Slice 73 of 155, Axial slice
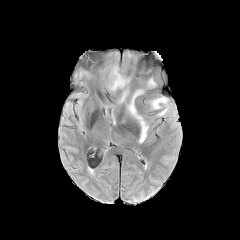
FLAIR magnetic resonance.
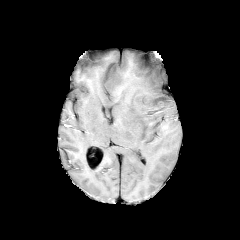
T1-weighted MR.
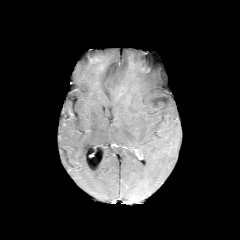
Same slice, post-contrast T1-weighted MR.
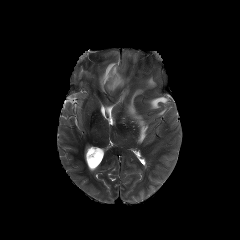
Same slice, T2-weighted magnetic resonance.
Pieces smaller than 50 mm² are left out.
peritumoral_edema:
  - (left=150, top=96, right=168, bottom=109)
  - (left=108, top=49, right=164, bottom=143)